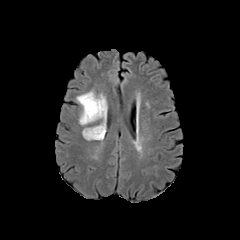
FLAIR MR.
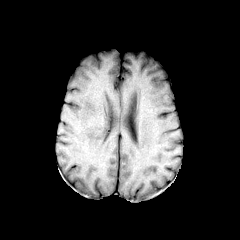
T1-weighted magnetic resonance.
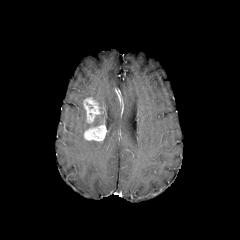
Post-contrast T1-weighted magnetic resonance of the same slice.
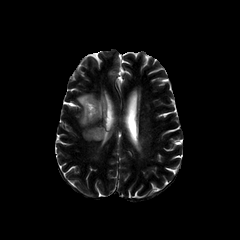
Same slice, T2-weighted MR image.
240x240
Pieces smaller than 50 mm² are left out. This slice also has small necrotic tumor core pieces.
2 enhancing tumor regions are located at region(83, 97, 103, 123); region(84, 124, 106, 141). The largest peritumoral edema region is bounded by region(76, 91, 107, 125).